Image width 240 mm; Slice index 110; Head
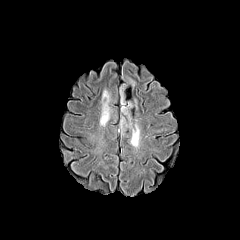
FLAIR magnetic resonance.
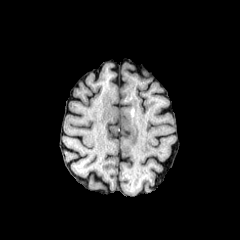
T1-weighted magnetic resonance.
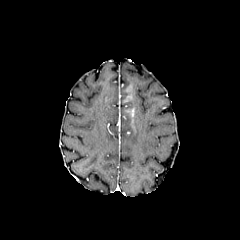
Post-contrast T1-weighted MR image.
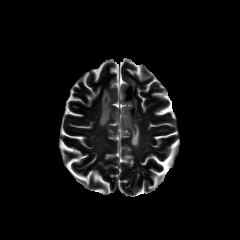
T2-weighted MR.
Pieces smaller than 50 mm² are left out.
peritumoral_edema:
  - 120:83:140:148
  - 125:75:134:86
  - 99:88:116:126